Slice 46/155
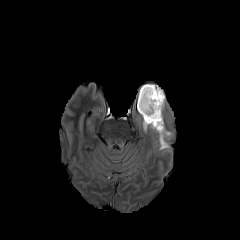
FLAIR MRI.
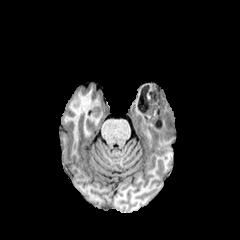
T1-weighted MRI.
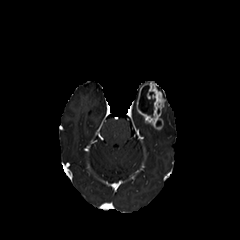
Post-contrast T1-weighted MRI.
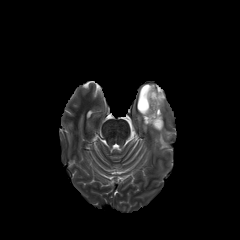
T2-weighted MR.
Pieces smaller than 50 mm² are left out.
enhancing tumor = rect(136, 82, 165, 130)
peritumoral edema = rect(142, 116, 173, 151)
necrotic tumor core = rect(138, 85, 155, 116)